Brain
FLAIR MR.
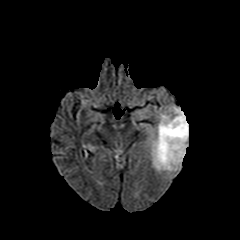
T1-weighted MR.
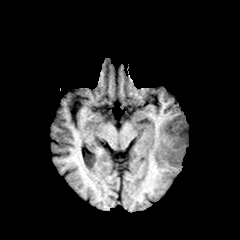
Post-contrast T1-weighted MR.
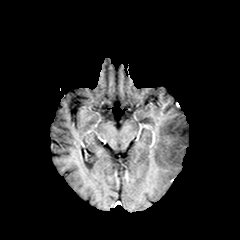
T2-weighted MRI.
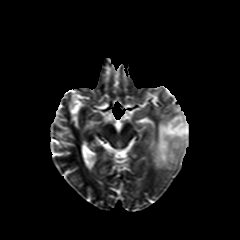
Annotated regions:
- peritumoral edema: 151 106 188 171